FLAIR MR.
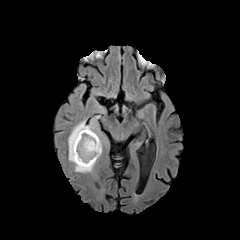
T1-weighted magnetic resonance.
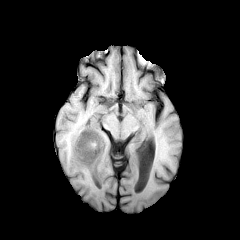
Post-contrast T1-weighted MR image.
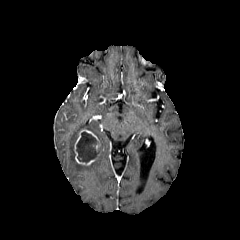
T2-weighted MRI.
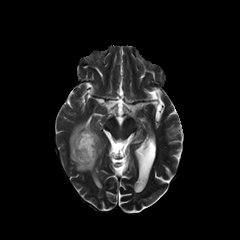
Brain, Axial view, Image size 240x240
The necrotic tumor core is located at {"x1": 76, "y1": 131, "x2": 97, "y2": 163}. 2 peritumoral edema regions are located at {"x1": 68, "y1": 83, "x2": 86, "y2": 109}, {"x1": 67, "y1": 95, "x2": 110, "y2": 172}. The enhancing tumor is bounded by {"x1": 74, "y1": 129, "x2": 100, "y2": 165}.